Head. Image width 240 mm, 1.00 mm slice spacing. Slice 95/155.
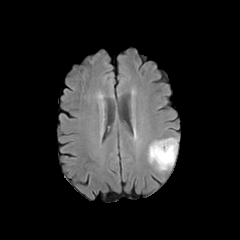
FLAIR MRI.
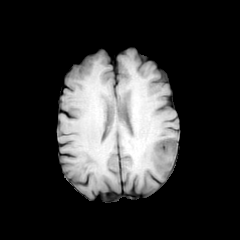
T1-weighted MR.
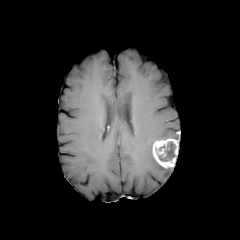
Post-contrast T1-weighted MRI.
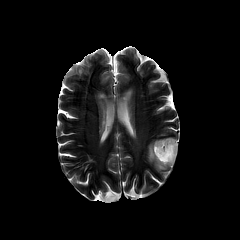
T2-weighted MRI.
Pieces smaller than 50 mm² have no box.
peritumoral edema = [x1=147, y1=140, x2=171, y2=171]
enhancing tumor = [x1=152, y1=138, x2=178, y2=168]
necrotic tumor core = [x1=159, y1=142, x2=175, y2=161]